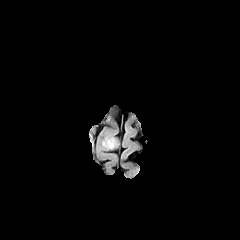
FLAIR MRI.
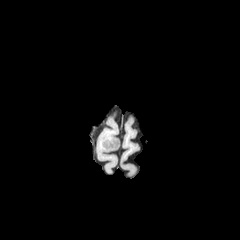
Same slice, T1-weighted MR.
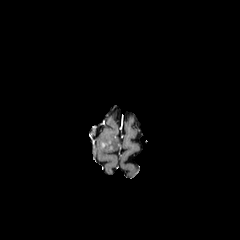
Post-contrast T1-weighted MR.
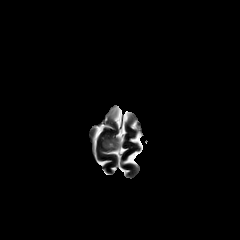
Same slice, T2-weighted MR.
Brain
peritumoral_edema:
  - <bbox>102, 135, 118, 149</bbox>